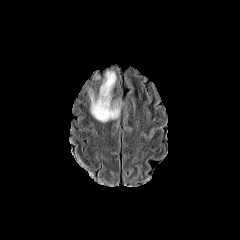
FLAIR magnetic resonance.
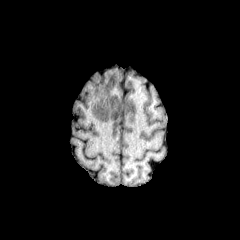
T1-weighted MRI.
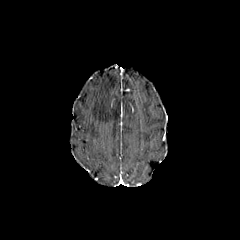
Post-contrast T1-weighted MR.
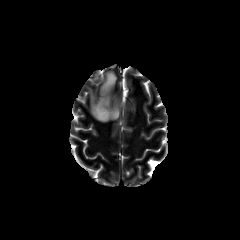
T2-weighted MR of the same slice.
Axial slice.
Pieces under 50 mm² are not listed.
peritumoral_edema:
  - [x1=90, y1=71, x2=119, y2=122]